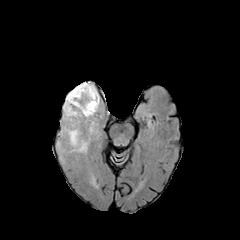
FLAIR MR image.
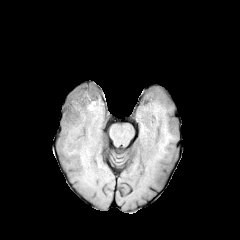
T1-weighted MRI.
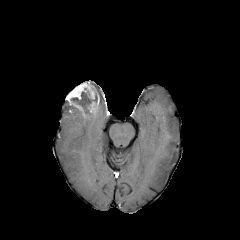
Post-contrast T1-weighted MRI.
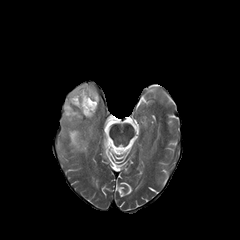
T2-weighted MRI.
Head.
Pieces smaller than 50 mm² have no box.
enhancing tumor: bbox(65, 82, 99, 117)
necrotic tumor core: bbox(71, 92, 97, 112)
peritumoral edema: bbox(65, 129, 88, 152); bbox(63, 101, 83, 121)